Slice index 25. Image size 240x240. Axial view.
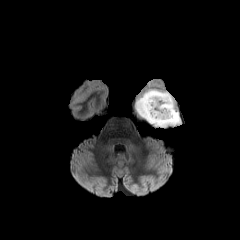
FLAIR MR image.
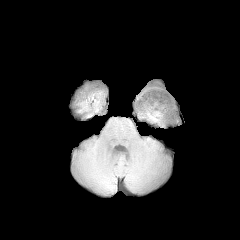
Same slice, T1-weighted magnetic resonance.
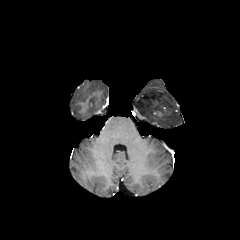
Post-contrast T1-weighted MR.
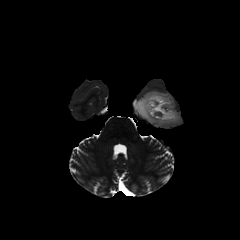
T2-weighted MR.
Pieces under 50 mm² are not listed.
Annotated regions:
* enhancing tumor: [161, 104, 171, 114]
* peritumoral edema: [136, 89, 180, 127]